Slice 82/155. 240x240 px.
FLAIR MR.
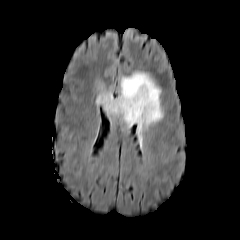
T1-weighted MR image.
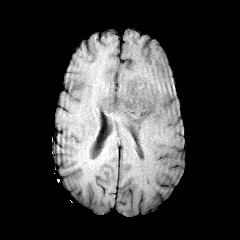
Post-contrast T1-weighted MR.
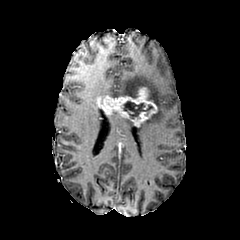
T2-weighted magnetic resonance.
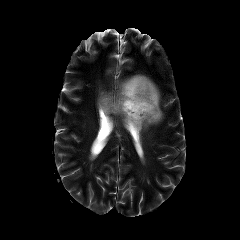
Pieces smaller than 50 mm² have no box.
The 3 largest peritumoral edema regions appear at left=118, top=72, right=163, bottom=142; left=98, top=91, right=112, bottom=97; left=121, top=117, right=133, bottom=126. The necrotic tumor core appears at left=123, top=101, right=152, bottom=118. The largest enhancing tumor region is at left=97, top=87, right=157, bottom=126.